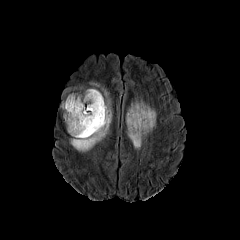
FLAIR magnetic resonance.
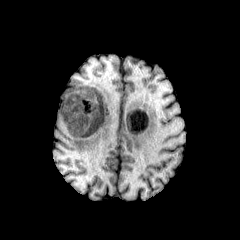
T1-weighted MRI.
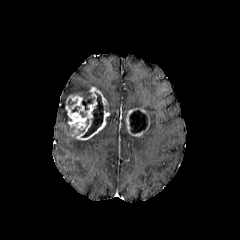
Same slice, post-contrast T1-weighted MR image.
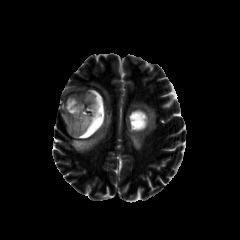
T2-weighted MRI.
Brain | Axial view
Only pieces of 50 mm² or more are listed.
The 3 largest necrotic tumor core regions appear at 82:92:103:137, 82:91:94:110, 129:110:147:133. 2 enhancing tumor regions are located at 65:87:109:140, 125:108:150:137. The 3 largest peritumoral edema regions appear at 61:102:69:132, 70:82:111:152, 127:101:156:149.